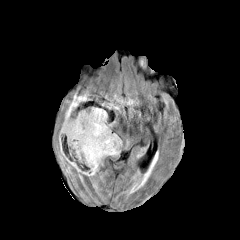
FLAIR magnetic resonance.
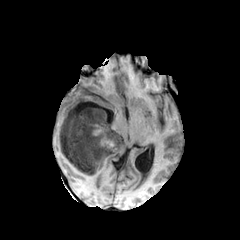
T1-weighted MRI.
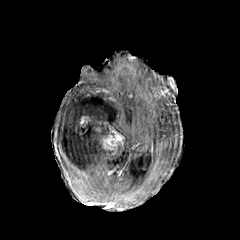
Same slice, post-contrast T1-weighted MR image.
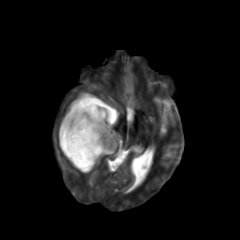
T2-weighted MR image.
Axial plane, Head
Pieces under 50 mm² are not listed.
peritumoral edema: box=[61, 91, 121, 176]; box=[67, 132, 79, 152]; box=[66, 159, 81, 171] | enhancing tumor: box=[102, 133, 123, 149]; box=[79, 116, 90, 127] | necrotic tumor core: box=[60, 116, 97, 168]